Axial plane, 240x240 px, Slice 64 of 155, Image covers 240 mm x 240 mm
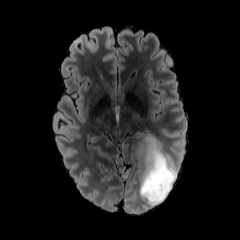
FLAIR MR.
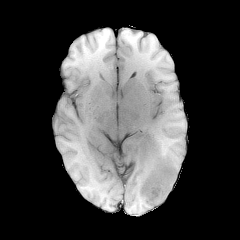
T1-weighted magnetic resonance of the same slice.
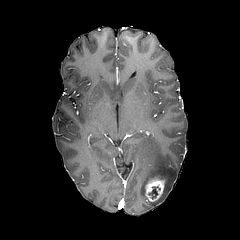
Post-contrast T1-weighted magnetic resonance.
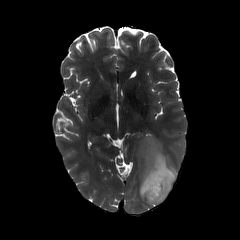
T2-weighted MR.
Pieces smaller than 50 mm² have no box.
The necrotic tumor core appears at {"x1": 149, "y1": 186, "x2": 160, "y2": 198}. The peritumoral edema appears at {"x1": 138, "y1": 138, "x2": 176, "y2": 206}. The largest enhancing tumor region is at {"x1": 145, "y1": 178, "x2": 164, "y2": 201}.